Axial view
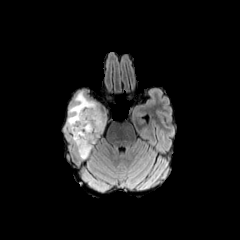
FLAIR MR image.
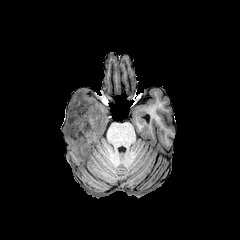
T1-weighted MR image.
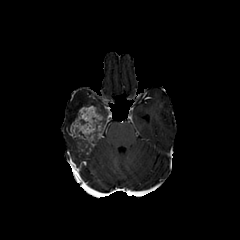
Same slice, post-contrast T1-weighted MR.
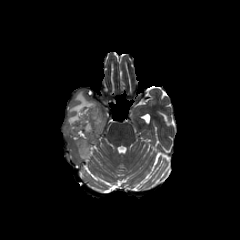
T2-weighted MRI.
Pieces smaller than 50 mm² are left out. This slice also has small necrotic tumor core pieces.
peritumoral edema: {"x1": 65, "y1": 91, "x2": 104, "y2": 138}
enhancing tumor: {"x1": 70, "y1": 105, "x2": 106, "y2": 155}